FLAIR magnetic resonance.
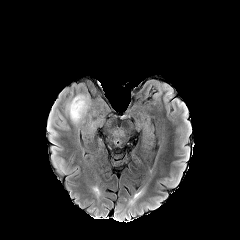
T1-weighted MR image.
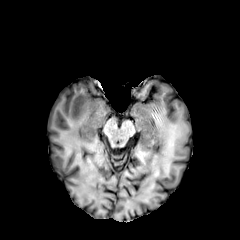
Post-contrast T1-weighted MRI.
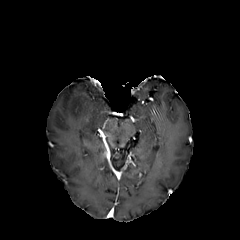
T2-weighted MR.
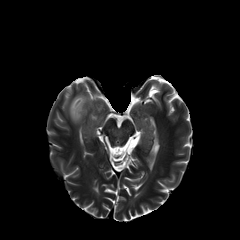
Image size 240x240
peritumoral edema: 68,95,88,123